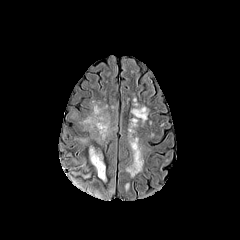
FLAIR MRI.
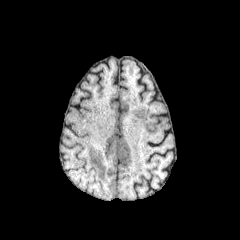
T1-weighted MRI.
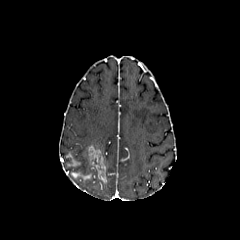
Post-contrast T1-weighted MR image.
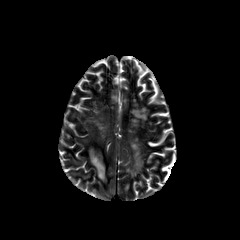
Same slice, T2-weighted MR.
Axial plane. Head.
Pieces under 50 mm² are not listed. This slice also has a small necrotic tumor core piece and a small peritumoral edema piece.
Annotated regions:
- enhancing tumor: 88,146,106,183